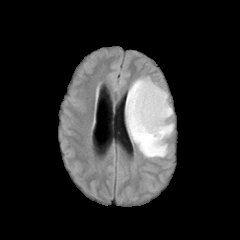
FLAIR MR image.
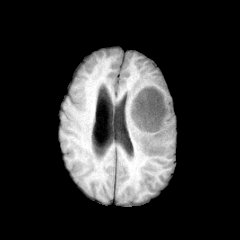
Same slice, T1-weighted MRI.
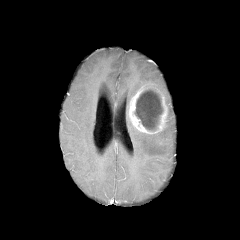
Post-contrast T1-weighted MR image of the same slice.
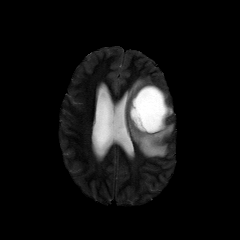
T2-weighted MR image.
Brain, Axial view, 240x240 px
enhancing_tumor:
  - bbox=[128, 84, 169, 134]
necrotic_tumor_core:
  - bbox=[135, 89, 163, 130]
peritumoral_edema:
  - bbox=[125, 77, 173, 157]